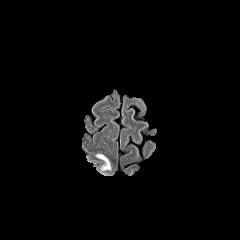
FLAIR magnetic resonance.
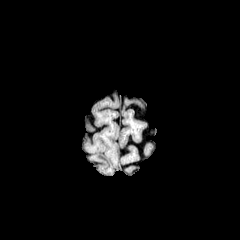
T1-weighted MRI of the same slice.
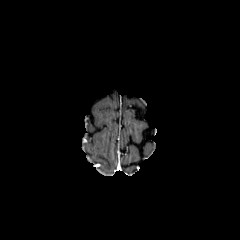
Post-contrast T1-weighted MR image.
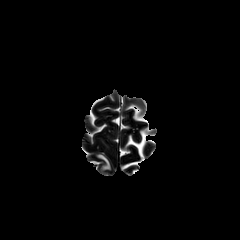
T2-weighted MR image.
Axial slice. Head.
peritumoral_edema:
  - region(96, 154, 110, 170)